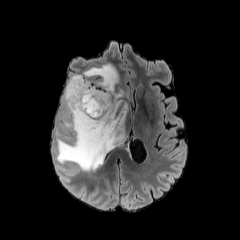
FLAIR MR.
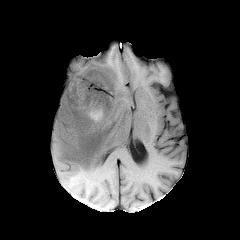
T1-weighted MR image.
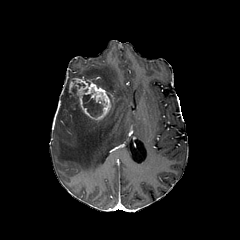
Same slice, post-contrast T1-weighted MR image.
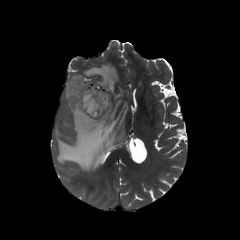
T2-weighted MR image.
240x240 px. Axial plane.
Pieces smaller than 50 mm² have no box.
Findings:
* peritumoral edema: x1=56, y1=63, x2=128, y2=171
* enhancing tumor: x1=68, y1=77, x2=111, y2=121
* necrotic tumor core: x1=82, y1=93, x2=103, y2=117